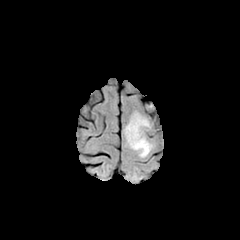
FLAIR MRI.
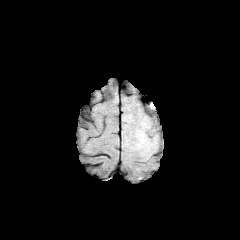
T1-weighted magnetic resonance.
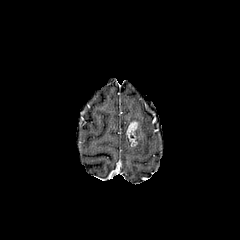
Post-contrast T1-weighted magnetic resonance.
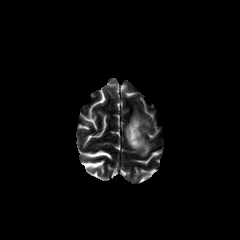
T2-weighted MRI.
240x240; Brain
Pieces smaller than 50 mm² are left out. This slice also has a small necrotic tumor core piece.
Segmented structures:
• enhancing tumor: 126:121:139:146
• peritumoral edema: 124:112:153:157